FLAIR MR image.
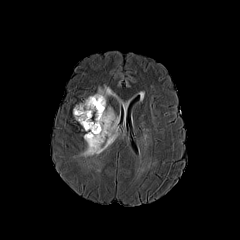
T1-weighted MRI.
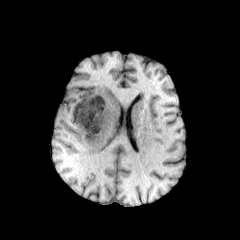
Post-contrast T1-weighted magnetic resonance.
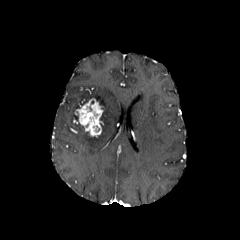
T2-weighted magnetic resonance.
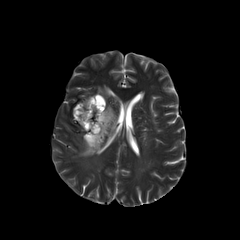
Head
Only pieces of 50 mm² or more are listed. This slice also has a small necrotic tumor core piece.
The enhancing tumor is located at x1=74 y1=98 x2=103 y2=136. The largest peritumoral edema region is bounded by x1=80 y1=85 x2=118 y2=156.